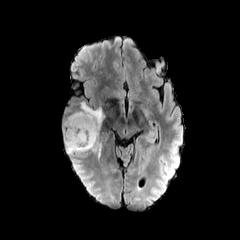
FLAIR magnetic resonance.
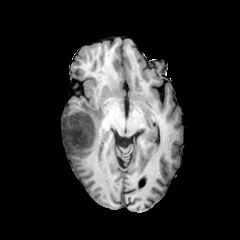
T1-weighted magnetic resonance.
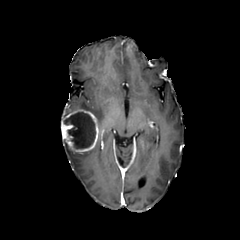
Post-contrast T1-weighted MR.
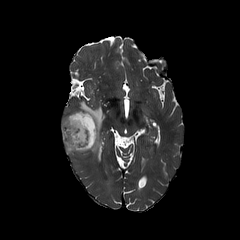
T2-weighted MRI.
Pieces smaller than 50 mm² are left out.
{"necrotic_tumor_core": ["[x1=64, y1=112, x2=95, y2=149]"], "enhancing_tumor": ["[x1=61, y1=107, x2=100, y2=153]"], "peritumoral_edema": ["[x1=79, y1=101, x2=107, y2=131]", "[x1=91, y1=140, x2=102, y2=159]", "[x1=65, y1=145, x2=84, y2=155]"]}